Head, 240x240 px, Slice 88/155
FLAIR MR.
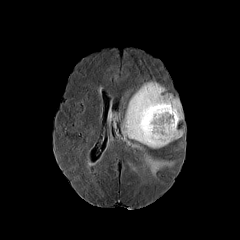
T1-weighted magnetic resonance.
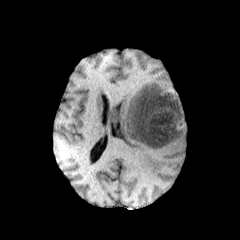
Post-contrast T1-weighted MR image.
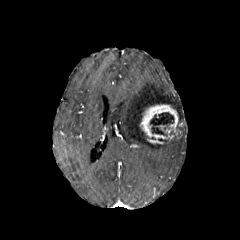
T2-weighted MR image.
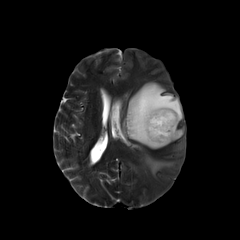
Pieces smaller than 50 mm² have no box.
peritumoral edema: bbox=[109, 81, 183, 180]
enhancing tumor: bbox=[139, 104, 181, 144]
necrotic tumor core: bbox=[150, 112, 173, 135]